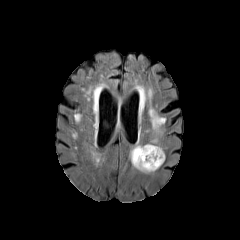
FLAIR MR image.
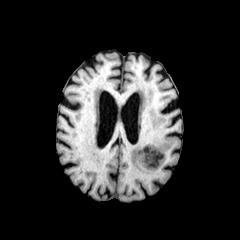
T1-weighted magnetic resonance.
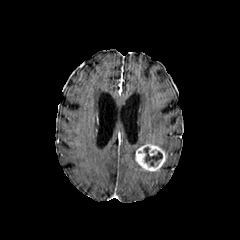
Post-contrast T1-weighted MR.
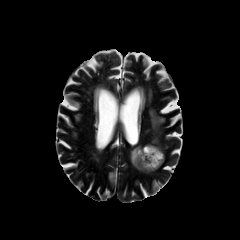
Same slice, T2-weighted MR.
Head
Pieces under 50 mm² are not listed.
peritumoral edema: bbox(148, 136, 162, 148); bbox(149, 108, 165, 134); bbox(129, 143, 153, 173) | enhancing tumor: bbox(135, 144, 165, 171) | necrotic tumor core: bbox(144, 147, 162, 166)